Slice index 111 | Axial view
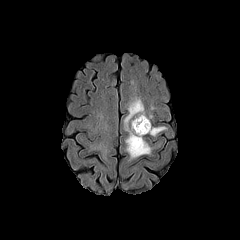
FLAIR MRI.
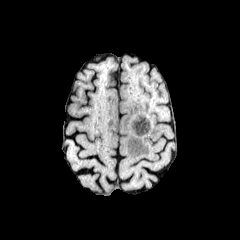
T1-weighted MRI.
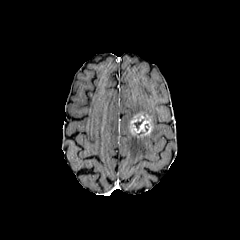
Post-contrast T1-weighted magnetic resonance of the same slice.
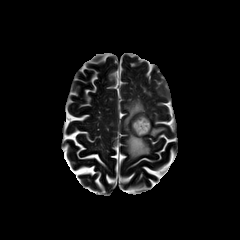
Same slice, T2-weighted MRI.
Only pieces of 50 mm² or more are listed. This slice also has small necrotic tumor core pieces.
<segmentation>
  <enhancing_tumor>box=[129, 113, 152, 137]</enhancing_tumor>
  <peritumoral_edema>box=[150, 127, 165, 136]; box=[124, 98, 150, 158]</peritumoral_edema>
</segmentation>